Slice 93/155, Brain, Image size 240x240, Image width 240 mm, 1.00 mm slice spacing, Axial plane
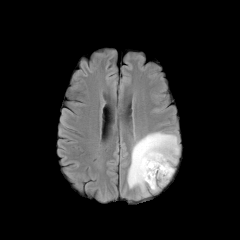
FLAIR MR.
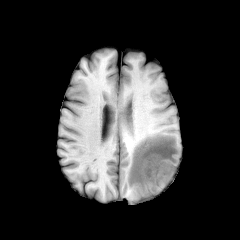
T1-weighted magnetic resonance.
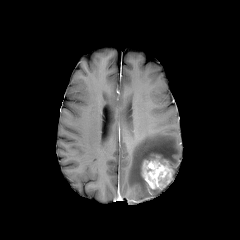
Post-contrast T1-weighted magnetic resonance.
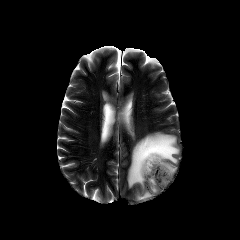
T2-weighted MRI of the same slice.
The peritumoral edema is at (127,132,179,199). The enhancing tumor is located at (142,155,173,189).